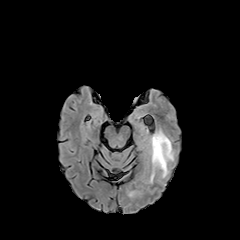
FLAIR MR image.
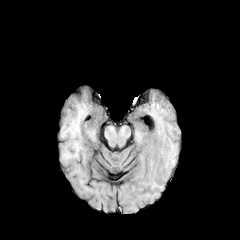
T1-weighted MRI.
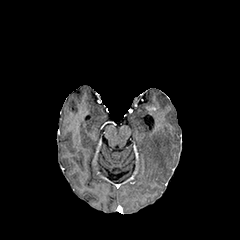
Same slice, post-contrast T1-weighted MRI.
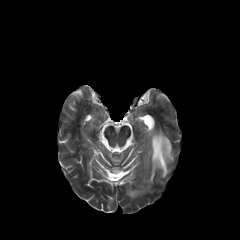
T2-weighted MR image.
Axial view | Brain
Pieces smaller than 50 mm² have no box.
The largest peritumoral edema region lies within 149,129,173,182.